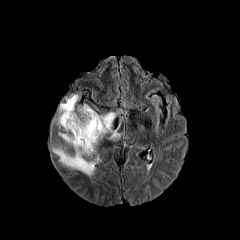
FLAIR MR image.
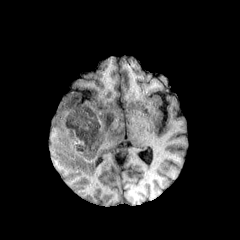
T1-weighted MR image of the same slice.
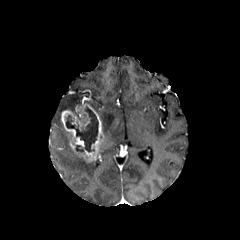
Post-contrast T1-weighted magnetic resonance.
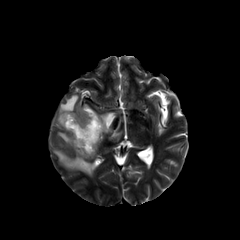
T2-weighted MR image.
240x240 px
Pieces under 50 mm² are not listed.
The enhancing tumor is at 61, 104, 103, 161. The largest necrotic tumor core region lies within 65, 106, 98, 151. 4 peritumoral edema regions appear at 99, 112, 120, 139; 53, 148, 96, 176; 56, 94, 79, 127; 58, 132, 70, 143.